Brain. Slice index 43.
FLAIR magnetic resonance.
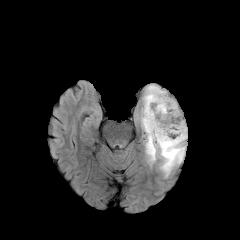
T1-weighted MR image.
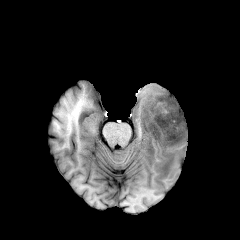
Post-contrast T1-weighted MRI.
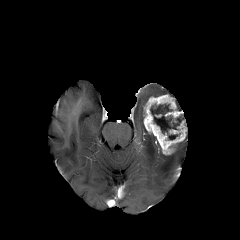
T2-weighted MRI.
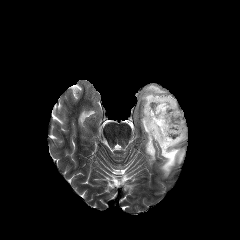
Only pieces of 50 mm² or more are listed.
necrotic tumor core: x1=150 y1=104 x2=184 y2=133
enhancing tumor: x1=143 y1=94 x2=187 y2=155
peritumoral edema: x1=142 y1=84 x2=167 y2=107, x1=140 y1=108 x2=185 y2=177